Brain
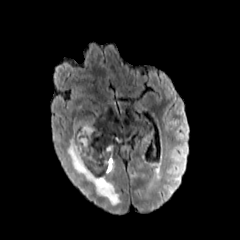
FLAIR MR.
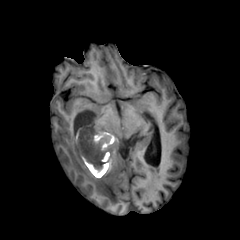
Same slice, T1-weighted MR.
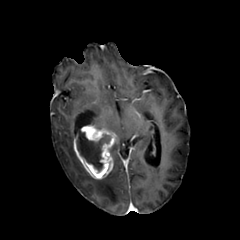
Same slice, post-contrast T1-weighted MR image.
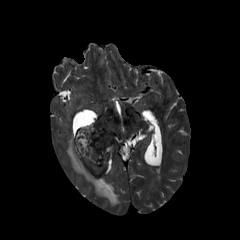
T2-weighted MR image.
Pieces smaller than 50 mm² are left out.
<segmentation>
  <necrotic_tumor_core>(77,132,110,172)</necrotic_tumor_core>
  <peritumoral_edema>(67,137,120,205)</peritumoral_edema>
  <enhancing_tumor>(73,125,114,179)</enhancing_tumor>
</segmentation>